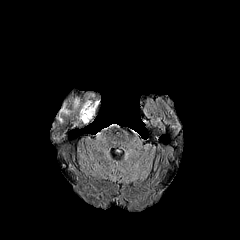
FLAIR MRI.
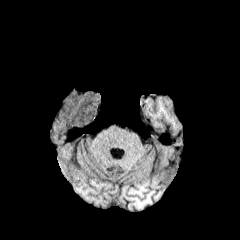
Same slice, T1-weighted magnetic resonance.
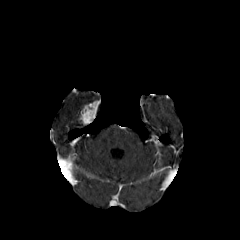
Same slice, post-contrast T1-weighted MRI.
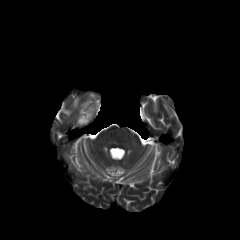
T2-weighted magnetic resonance.
Axial slice
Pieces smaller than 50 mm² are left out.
The enhancing tumor is at <box>78,100,99,124</box>. The largest peritumoral edema region is at <box>60,106,70,114</box>.